Axial plane | 240x240
FLAIR MR.
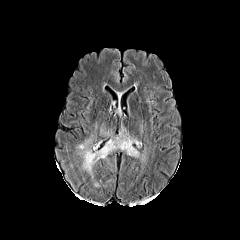
T1-weighted MR image.
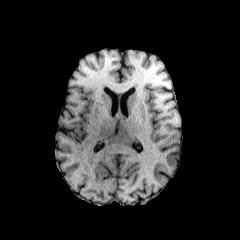
Post-contrast T1-weighted MR image.
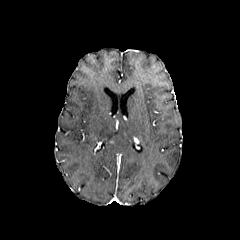
T2-weighted MRI.
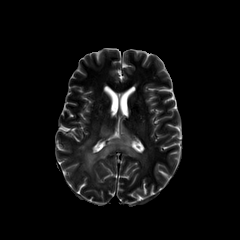
peritumoral edema: {"x1": 78, "y1": 132, "x2": 138, "y2": 173}